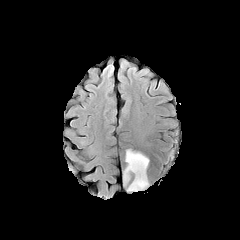
FLAIR MR image.
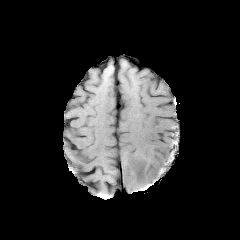
Same slice, T1-weighted MR.
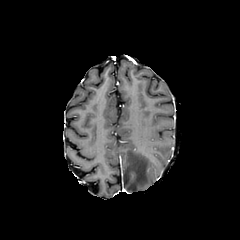
Same slice, post-contrast T1-weighted MRI.
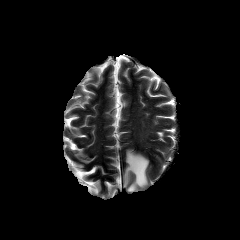
Same slice, T2-weighted MR.
Brain
{"peritumoral_edema": ["123 149 148 191"]}